FLAIR magnetic resonance.
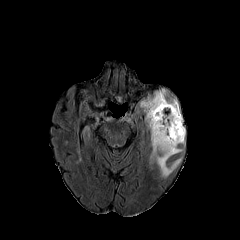
T1-weighted MR image.
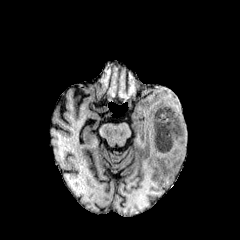
Post-contrast T1-weighted MR image.
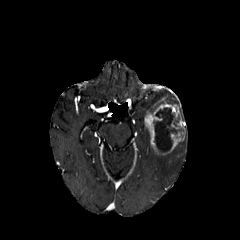
T2-weighted MR image.
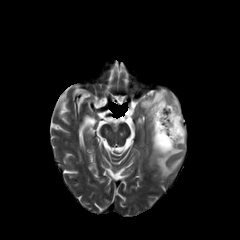
240x240, Head
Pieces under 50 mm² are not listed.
necrotic tumor core: bounding box rect(153, 108, 181, 151)
enhancing tumor: bounding box rect(144, 97, 185, 155)
peritumoral edema: bounding box rect(150, 145, 183, 177); rect(140, 89, 178, 112)